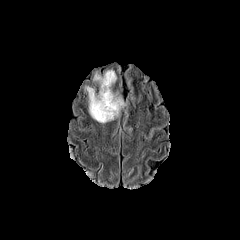
FLAIR MR image.
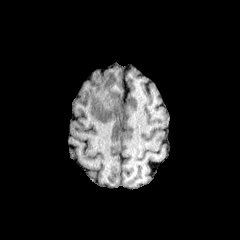
T1-weighted MR.
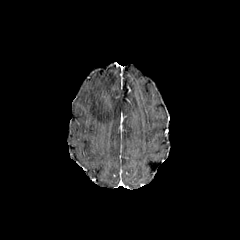
Post-contrast T1-weighted MR of the same slice.
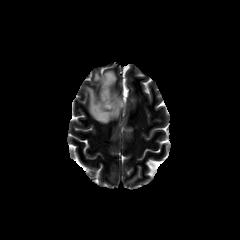
Same slice, T2-weighted MR image.
Head | Axial view
<segmentation>
  <peritumoral_edema>(x1=86, y1=70, x2=124, y2=122)</peritumoral_edema>
</segmentation>